FLAIR magnetic resonance.
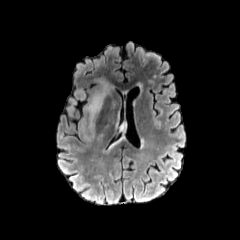
T1-weighted magnetic resonance.
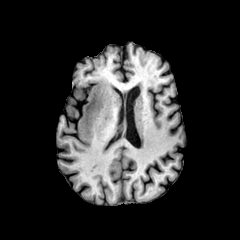
Post-contrast T1-weighted magnetic resonance.
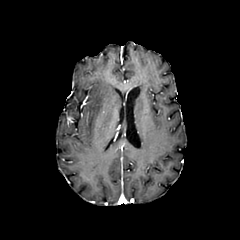
T2-weighted magnetic resonance.
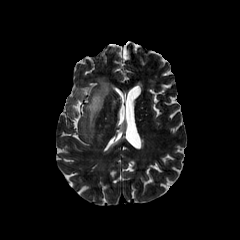
Brain; Axial slice
2 peritumoral edema regions are located at [82, 78, 112, 131], [75, 89, 85, 99].